Brain, Image size 240x240
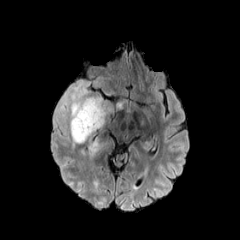
FLAIR MRI.
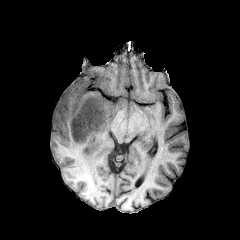
T1-weighted MRI.
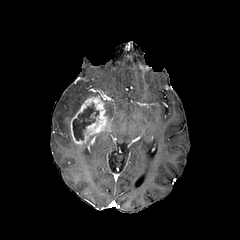
Post-contrast T1-weighted magnetic resonance.
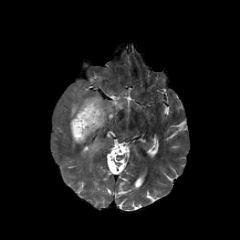
Same slice, T2-weighted MRI.
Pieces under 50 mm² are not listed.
necrotic_tumor_core:
  - (73,103,95,140)
enhancing_tumor:
  - (70,93,108,145)
peritumoral_edema:
  - (89,135,101,152)
  - (53,76,102,145)
  - (103,96,123,115)